Axial slice. 240x240 px. Slice 126/155.
FLAIR MRI.
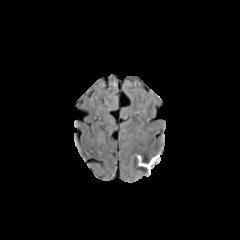
T1-weighted magnetic resonance.
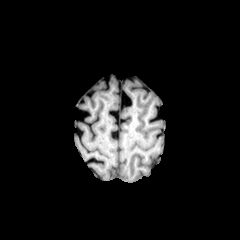
Post-contrast T1-weighted magnetic resonance.
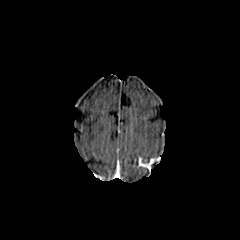
T2-weighted magnetic resonance.
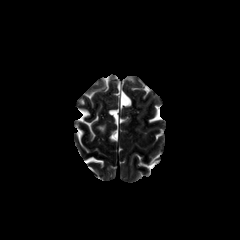
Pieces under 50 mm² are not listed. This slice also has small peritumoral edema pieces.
enhancing tumor = {"x1": 139, "y1": 157, "x2": 159, "y2": 171}